FLAIR magnetic resonance.
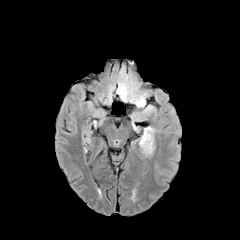
T1-weighted MR.
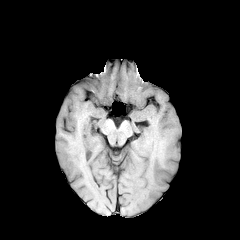
Post-contrast T1-weighted MR.
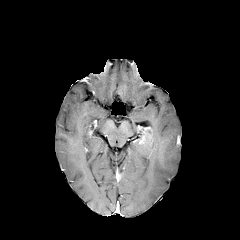
T2-weighted magnetic resonance.
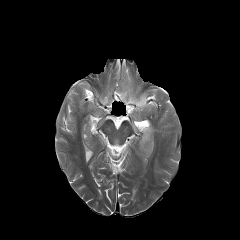
Axial slice | Image size 240x240
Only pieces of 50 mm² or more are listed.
The 3 largest peritumoral edema regions are located at 121, 83, 146, 107; 142, 105, 154, 114; 139, 126, 156, 157. The enhancing tumor is bounded by 139, 127, 150, 144.